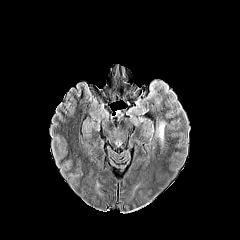
FLAIR MRI.
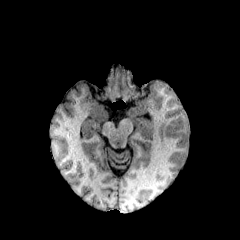
T1-weighted MR image.
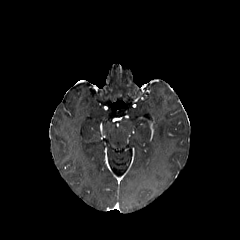
Post-contrast T1-weighted MR image.
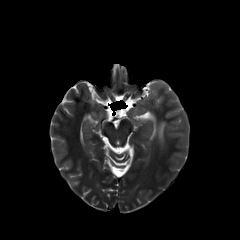
T2-weighted MR image of the same slice.
240x240 px.
<segmentation>
  <peritumoral_edema><bbox>158, 122, 165, 141</bbox></peritumoral_edema>
</segmentation>